Slice 101 of 155; Brain
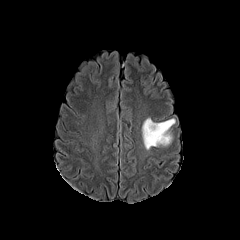
FLAIR magnetic resonance.
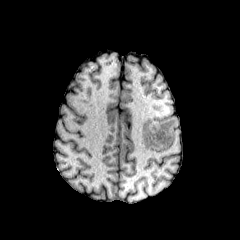
T1-weighted MR image.
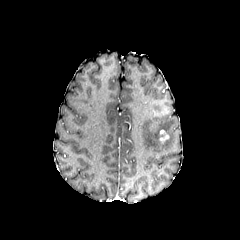
Same slice, post-contrast T1-weighted MRI.
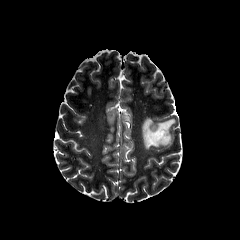
T2-weighted magnetic resonance.
- peritumoral edema: [142, 118, 175, 149]
- enhancing tumor: [159, 130, 169, 143]